Axial slice; Slice index 72; Image width 240 mm
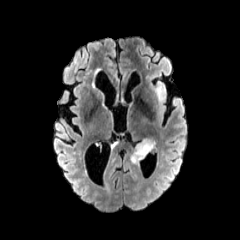
FLAIR MR.
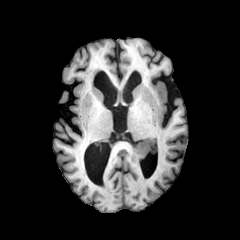
T1-weighted magnetic resonance.
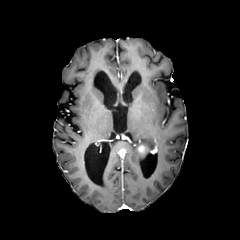
Post-contrast T1-weighted MR.
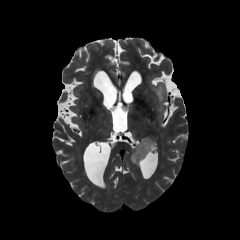
T2-weighted magnetic resonance.
<segmentation>
  <enhancing_tumor>(138, 145, 148, 153)</enhancing_tumor>
  <peritumoral_edema>(130, 138, 155, 165)</peritumoral_edema>
</segmentation>